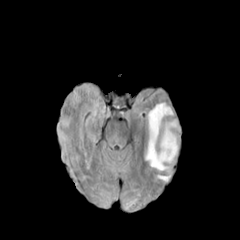
FLAIR MRI.
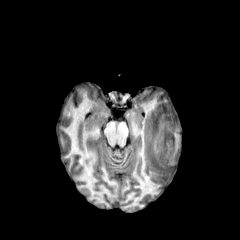
T1-weighted MRI.
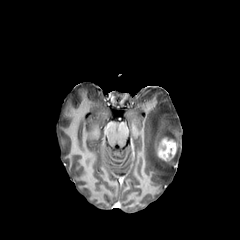
Same slice, post-contrast T1-weighted magnetic resonance.
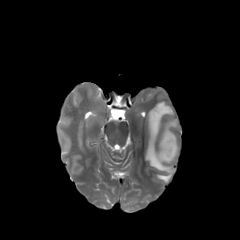
T2-weighted MR image.
Head. Image size 240x240.
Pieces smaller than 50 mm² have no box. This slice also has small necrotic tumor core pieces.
<segmentation>
  <peritumoral_edema>161 119 179 141, 145 102 173 181</peritumoral_edema>
  <enhancing_tumor>156 137 177 161</enhancing_tumor>
</segmentation>